FLAIR MRI.
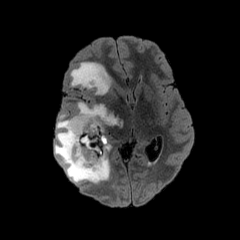
T1-weighted magnetic resonance.
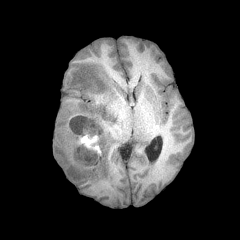
Post-contrast T1-weighted MRI.
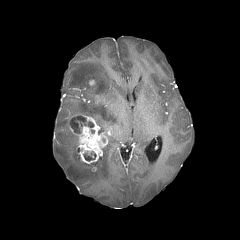
T2-weighted magnetic resonance.
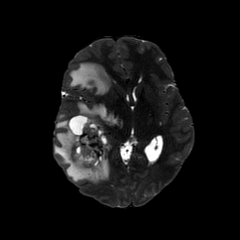
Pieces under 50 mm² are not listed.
necrotic tumor core at <box>84,151,96,160</box>, <box>70,116,93,133</box>
enhancing tumor at <box>69,115,108,163</box>
peritumoral edema at <box>54,113,110,183</box>, <box>72,102,122,132</box>, <box>70,62,111,94</box>